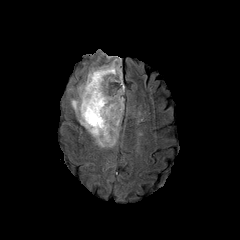
FLAIR magnetic resonance.
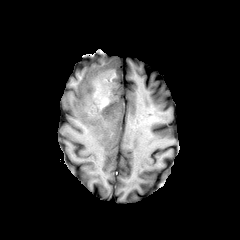
T1-weighted MR.
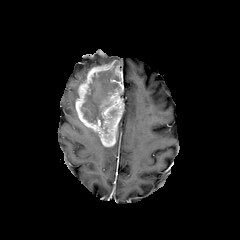
Same slice, post-contrast T1-weighted magnetic resonance.
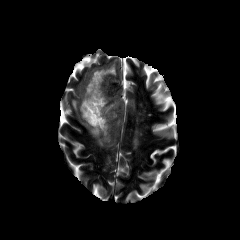
T2-weighted magnetic resonance of the same slice.
Head. 240x240.
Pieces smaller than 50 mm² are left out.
peritumoral_edema:
  - [71,86,111,147]
enhancing_tumor:
  - [75,60,124,146]
necrotic_tumor_core:
  - [81,68,119,127]